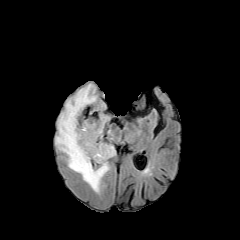
FLAIR magnetic resonance.
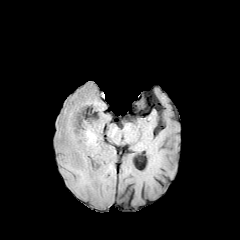
T1-weighted MRI.
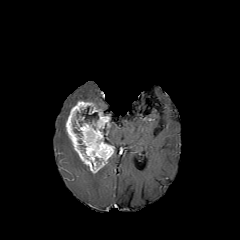
Same slice, post-contrast T1-weighted MR image.
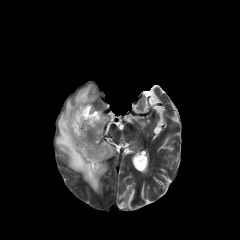
T2-weighted magnetic resonance.
240x240. Axial slice.
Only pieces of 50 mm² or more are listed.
<segmentation>
  <enhancing_tumor>65:101:114:173</enhancing_tumor>
  <necrotic_tumor_core>77:106:98:122</necrotic_tumor_core>
  <peritumoral_edema>55:83:109:193</peritumoral_edema>
</segmentation>